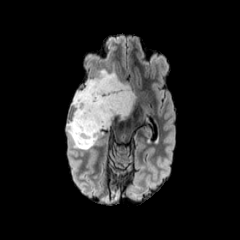
FLAIR MR image.
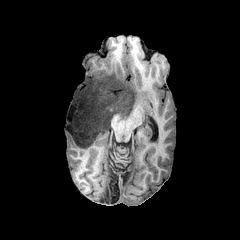
T1-weighted magnetic resonance of the same slice.
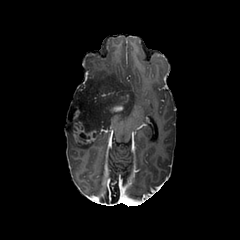
Post-contrast T1-weighted MR.
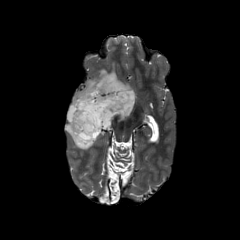
T2-weighted MRI.
Axial slice
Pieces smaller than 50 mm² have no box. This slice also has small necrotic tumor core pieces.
<segmentation>
  <peritumoral_edema>box=[66, 68, 135, 150]</peritumoral_edema>
  <enhancing_tumor>box=[112, 106, 122, 111]; box=[69, 106, 100, 144]</enhancing_tumor>
</segmentation>